FLAIR MR.
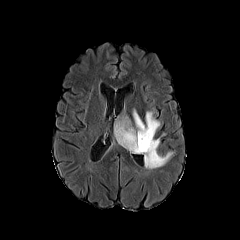
T1-weighted MRI.
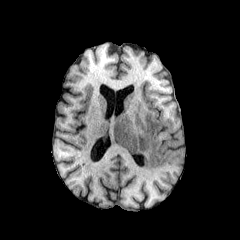
Post-contrast T1-weighted MRI.
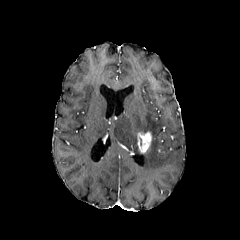
T2-weighted MR.
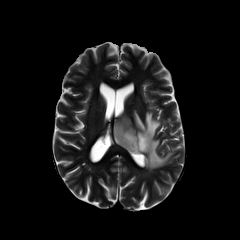
Brain; 240x240 px
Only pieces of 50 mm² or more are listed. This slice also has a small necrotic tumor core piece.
peritumoral edema = x1=114, y1=109, x2=173, y2=169
enhancing tumor = x1=137, y1=132, x2=151, y2=153